Image width 240 mm. Brain. Slice index 63. Axial slice.
FLAIR MR image.
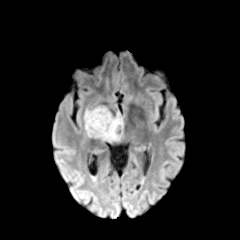
T1-weighted MR.
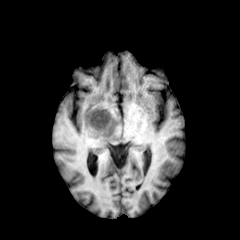
Post-contrast T1-weighted MR.
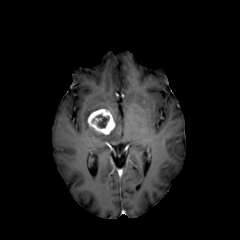
T2-weighted magnetic resonance.
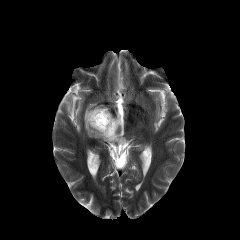
{"peritumoral_edema": ["(left=84, top=107, right=122, bottom=142)"], "enhancing_tumor": ["(left=87, top=109, right=115, bottom=134)"], "necrotic_tumor_core": ["(left=97, top=115, right=108, bottom=127)"]}